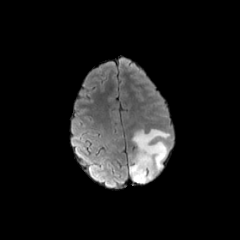
FLAIR MR.
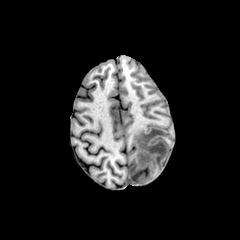
T1-weighted MRI of the same slice.
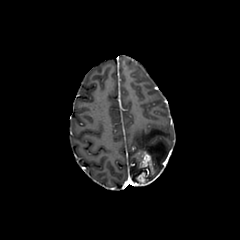
Post-contrast T1-weighted MR image of the same slice.
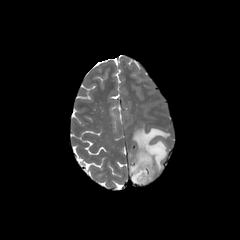
T2-weighted magnetic resonance.
Axial plane | 240x240 px
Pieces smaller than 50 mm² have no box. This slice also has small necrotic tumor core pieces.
{"peritumoral_edema": ["132:129:169:182", "130:155:139:182"], "enhancing_tumor": ["135:151:154:183"]}